Slice 55 of 155. Image size 240x240.
FLAIR MRI.
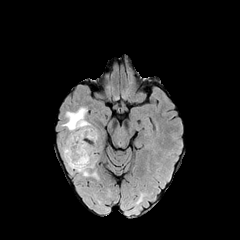
T1-weighted MR.
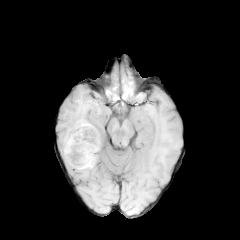
Post-contrast T1-weighted MR.
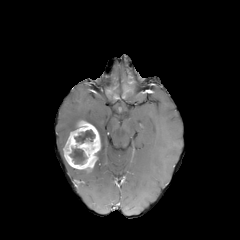
T2-weighted MR.
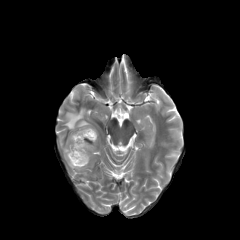
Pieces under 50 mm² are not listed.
peritumoral edema at 75:169:97:178, 62:107:89:131
enhancing tumor at 63:121:100:171
necrotic tumor core at 74:130:94:143, 70:148:86:163